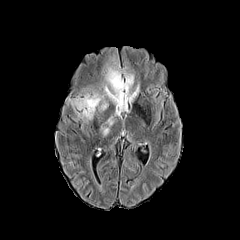
FLAIR MRI.
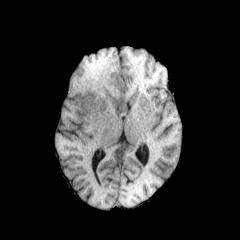
T1-weighted MR image.
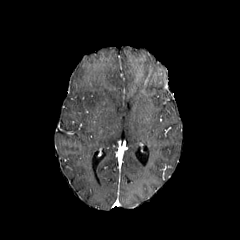
Post-contrast T1-weighted MRI of the same slice.
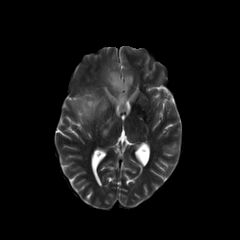
T2-weighted MRI.
Brain. Axial plane. 240x240 px.
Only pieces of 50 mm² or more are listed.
Segmented structures:
* peritumoral edema: x1=73, y1=94, x2=100, y2=119; x1=104, y1=68, x2=139, y2=115